Image width 240 mm. Slice 88/155. Axial slice. 240x240. Brain.
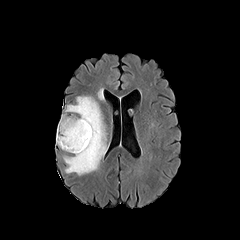
FLAIR MR image.
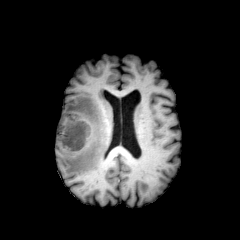
T1-weighted MR.
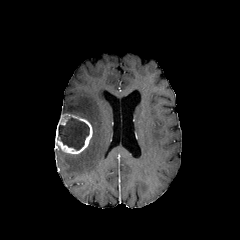
Post-contrast T1-weighted magnetic resonance.
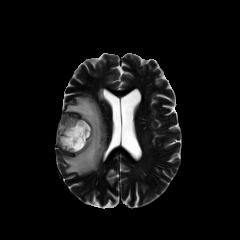
Same slice, T2-weighted MRI.
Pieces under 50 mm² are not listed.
Findings:
- necrotic tumor core: (58,117,89,150)
- peritumoral edema: (63,96,107,175)
- enhancing tumor: (55,114,92,154)